Axial slice. Image size 240x240.
FLAIR MRI.
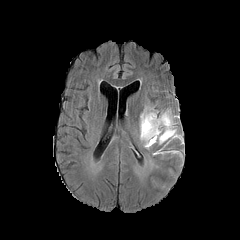
T1-weighted MR.
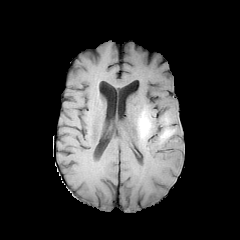
Post-contrast T1-weighted MR.
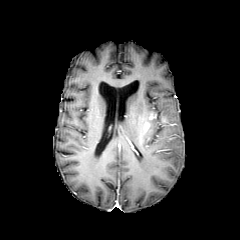
T2-weighted magnetic resonance.
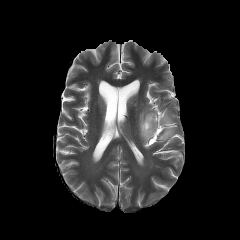
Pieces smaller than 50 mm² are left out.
peritumoral edema: (left=140, top=111, right=179, bottom=148)
enhancing tumor: (left=143, top=114, right=155, bottom=132)